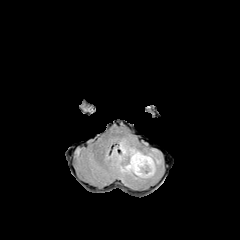
FLAIR MRI.
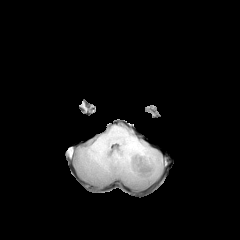
T1-weighted magnetic resonance.
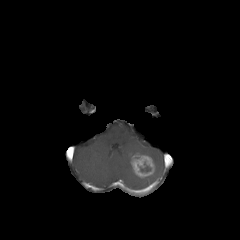
Post-contrast T1-weighted magnetic resonance.
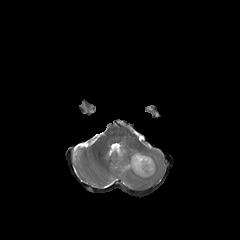
T2-weighted MR of the same slice.
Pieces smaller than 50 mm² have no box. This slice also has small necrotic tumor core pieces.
enhancing_tumor:
  - bbox=[130, 153, 155, 178]
peritumoral_edema:
  - bbox=[111, 140, 161, 184]